Image width 240 mm; Brain
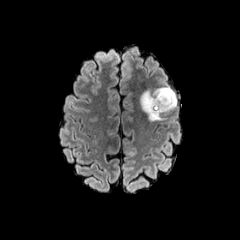
FLAIR MR image.
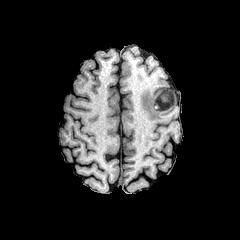
Same slice, T1-weighted MR image.
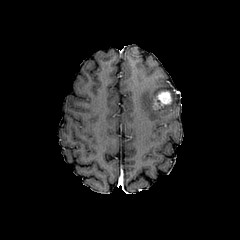
Post-contrast T1-weighted MRI.
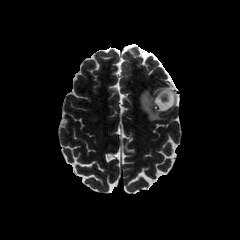
T2-weighted MRI of the same slice.
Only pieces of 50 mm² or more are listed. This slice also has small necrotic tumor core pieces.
peritumoral edema = left=139, top=86, right=176, bottom=121
enhancing tumor = left=151, top=90, right=174, bottom=113